FLAIR MR image.
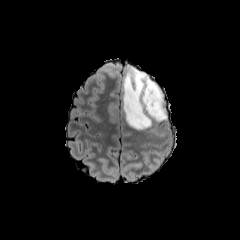
T1-weighted MR.
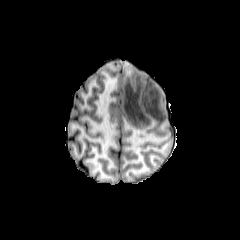
Post-contrast T1-weighted MRI.
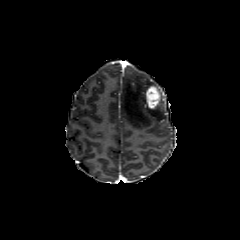
T2-weighted MRI.
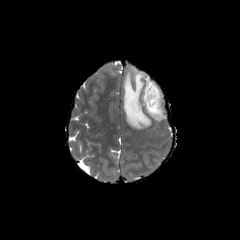
240x240, Brain, Axial plane
The peritumoral edema lies within [122, 67, 166, 129]. The enhancing tumor appears at [145, 85, 160, 109].